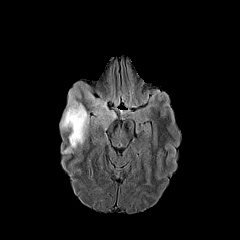
FLAIR MRI.
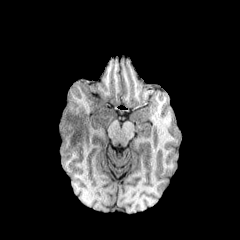
T1-weighted MRI.
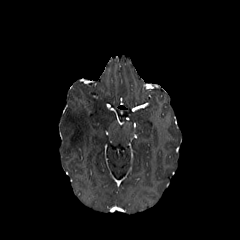
Post-contrast T1-weighted MRI.
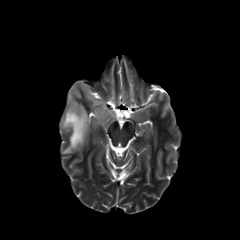
T2-weighted MRI of the same slice.
Brain, Axial slice
<segmentation>
  <peritumoral_edema><bbox>85, 91, 113, 125</bbox>, <bbox>60, 88, 89, 153</bbox></peritumoral_edema>
</segmentation>